FLAIR magnetic resonance.
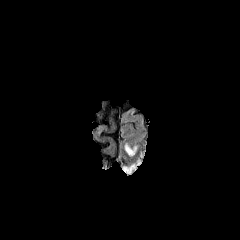
T1-weighted magnetic resonance.
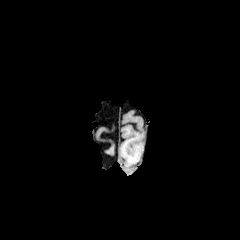
Post-contrast T1-weighted MR image.
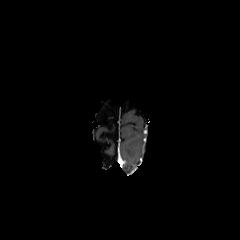
T2-weighted MR image.
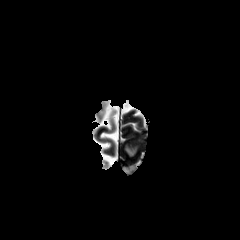
Brain | Axial plane
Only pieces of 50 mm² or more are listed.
The largest peritumoral edema region is bounded by 125, 145, 135, 154.